Brain | 240x240
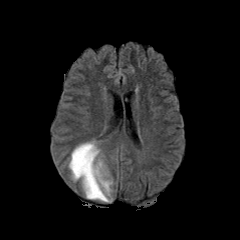
FLAIR MRI.
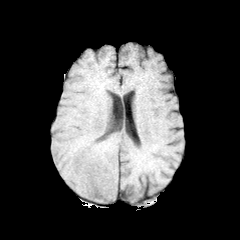
T1-weighted MR image.
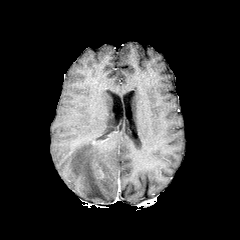
Post-contrast T1-weighted magnetic resonance.
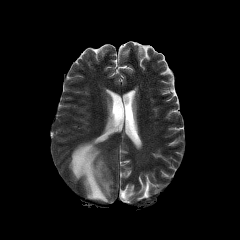
T2-weighted magnetic resonance of the same slice.
peritumoral_edema:
  - (x1=69, y1=140, x2=112, y2=202)